Axial view, Slice 52 of 155
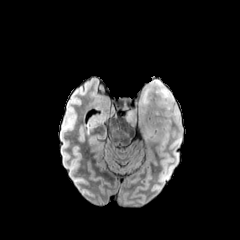
FLAIR MR.
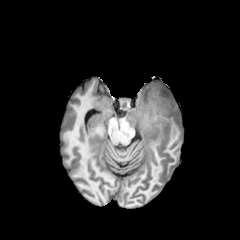
Same slice, T1-weighted MRI.
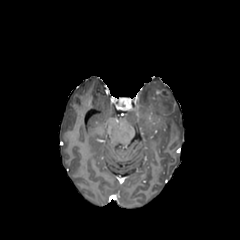
Same slice, post-contrast T1-weighted MR.
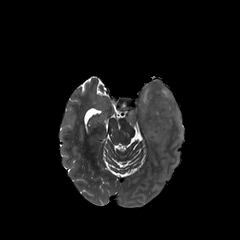
T2-weighted MR image of the same slice.
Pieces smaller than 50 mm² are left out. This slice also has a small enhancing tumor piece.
peritumoral edema: bounding box left=125, top=79, right=182, bottom=143